Brain | Axial plane
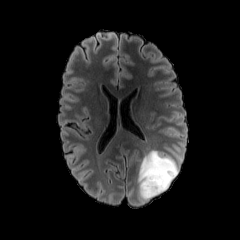
FLAIR magnetic resonance.
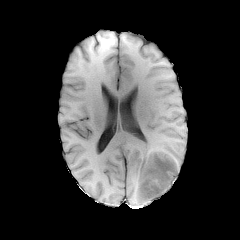
T1-weighted MR of the same slice.
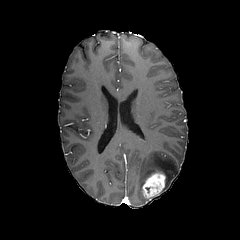
Post-contrast T1-weighted magnetic resonance.
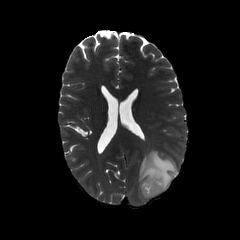
T2-weighted MRI.
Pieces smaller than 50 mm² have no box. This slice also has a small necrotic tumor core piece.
The peritumoral edema is at 137:150:179:203. The enhancing tumor is bounded by 141:170:166:199.